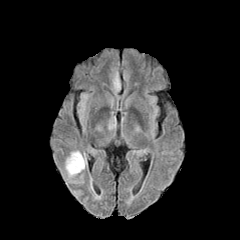
FLAIR MR.
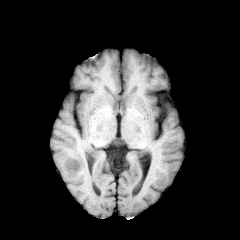
T1-weighted MR image.
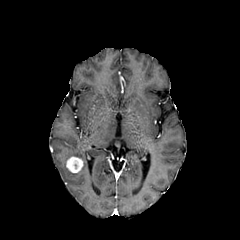
Same slice, post-contrast T1-weighted magnetic resonance.
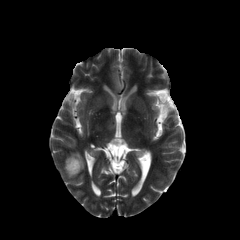
Same slice, T2-weighted MR.
Axial view, Head, 240x240 px
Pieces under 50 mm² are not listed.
Findings:
- enhancing tumor: bbox=[66, 156, 83, 172]
- peritumoral edema: bbox=[64, 151, 84, 182]